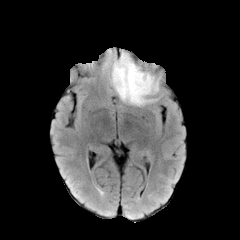
FLAIR MR image.
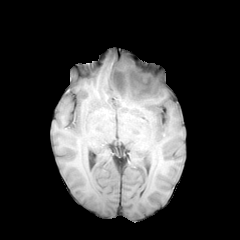
T1-weighted MRI of the same slice.
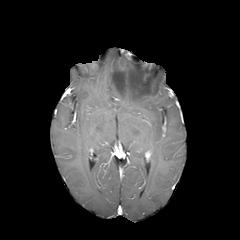
Post-contrast T1-weighted MRI.
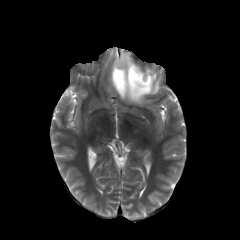
T2-weighted MR image.
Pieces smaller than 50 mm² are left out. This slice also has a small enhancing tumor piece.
{"peritumoral_edema": ["[x1=112, y1=53, x2=158, y2=104]"]}